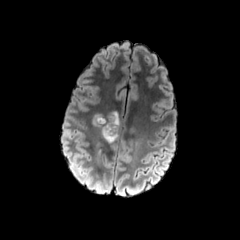
FLAIR MR.
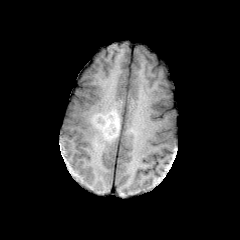
Same slice, T1-weighted MRI.
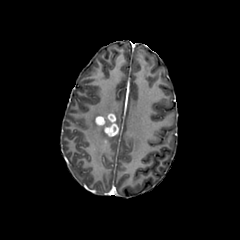
Same slice, post-contrast T1-weighted MR.
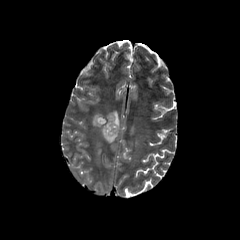
T2-weighted MR image of the same slice.
240x240. Axial slice. Head.
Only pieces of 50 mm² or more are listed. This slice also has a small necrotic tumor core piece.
peritumoral edema at [134,141,143,150], [95,141,102,167], [112,111,119,131], [92,114,118,143]
enhancing tumor at [95,113,118,137]